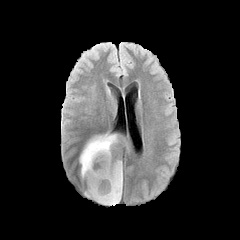
FLAIR MRI.
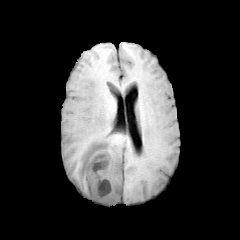
T1-weighted MRI of the same slice.
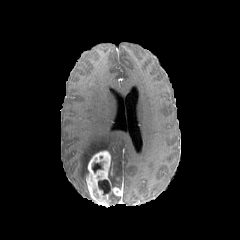
Post-contrast T1-weighted MRI.
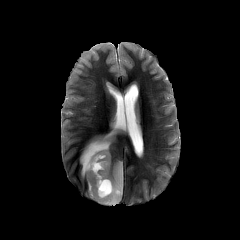
T2-weighted MR image of the same slice.
Brain; 240x240 px; Axial plane
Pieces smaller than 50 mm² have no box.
The 2 largest necrotic tumor core regions are located at 98 179 110 194, 92 163 102 172. The 2 largest peritumoral edema regions are bounded by 108 157 122 187, 80 134 131 177. The largest enhancing tumor region is bounded by 86 151 122 205.